Head.
FLAIR magnetic resonance.
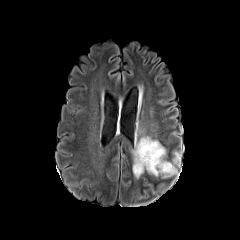
T1-weighted MR.
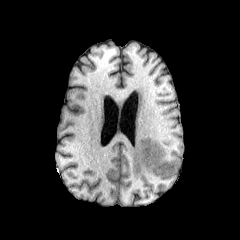
Post-contrast T1-weighted MRI.
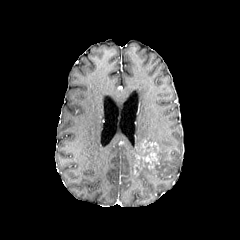
T2-weighted MR image.
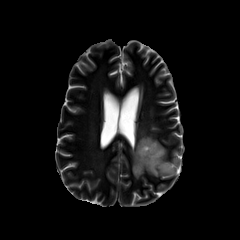
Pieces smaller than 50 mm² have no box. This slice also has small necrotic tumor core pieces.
peritumoral edema: [173,152,180,166], [132,136,176,178] | enhancing tumor: [134,139,161,174]